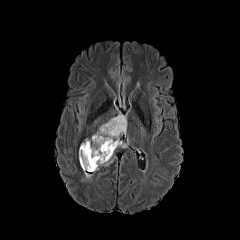
FLAIR MRI.
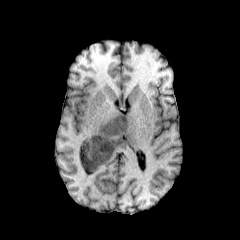
T1-weighted MR image.
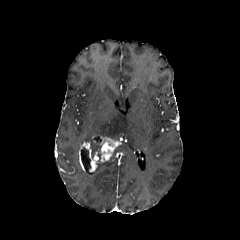
Post-contrast T1-weighted MRI of the same slice.
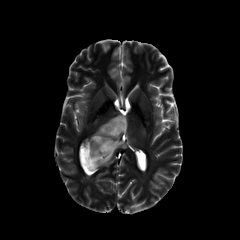
T2-weighted MRI.
Head
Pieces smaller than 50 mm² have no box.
* peritumoral edema: l=94, t=158, r=111, b=171; l=93, t=114, r=127, b=140
* enhancing tumor: l=79, t=136, r=121, b=171
* necrotic tumor core: l=90, t=136, r=101, b=160; l=81, t=147, r=90, b=171